Axial plane, Image width 240 mm, 1.00 mm slice spacing, Head, Image size 240x240
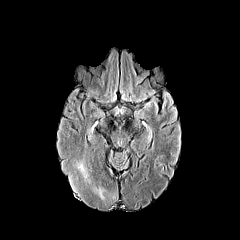
FLAIR MR image.
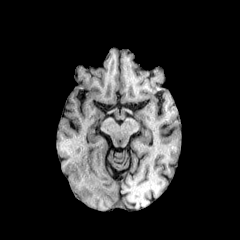
T1-weighted MR.
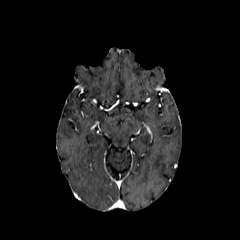
Post-contrast T1-weighted MRI.
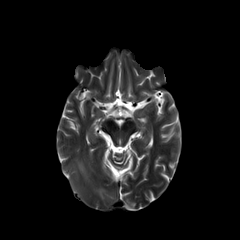
T2-weighted magnetic resonance of the same slice.
<segmentation>
  <peritumoral_edema>bbox=[76, 161, 87, 179]; bbox=[96, 188, 103, 198]</peritumoral_edema>
</segmentation>